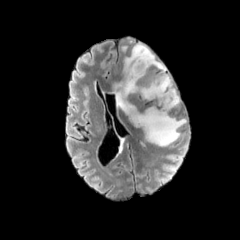
FLAIR MR.
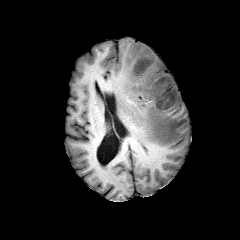
T1-weighted MRI.
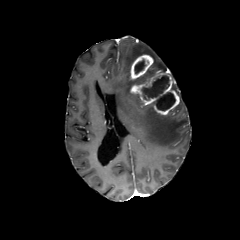
Post-contrast T1-weighted MRI of the same slice.
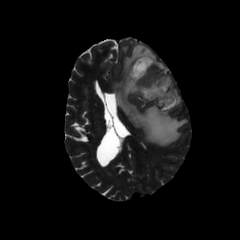
Same slice, T2-weighted MRI.
Head
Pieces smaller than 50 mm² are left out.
peritumoral edema: bounding box 111,43,186,146
necrotic tumor core: bounding box 134,59,144,73; 155,92,175,110; 142,75,169,100
enhancing tumor: bounding box 130,69,179,115; 129,54,153,80